Axial plane
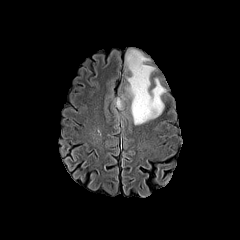
FLAIR magnetic resonance.
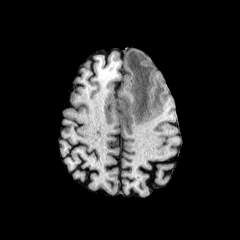
Same slice, T1-weighted magnetic resonance.
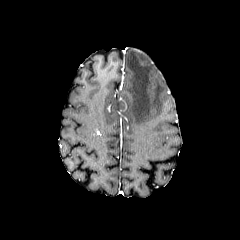
Post-contrast T1-weighted MRI.
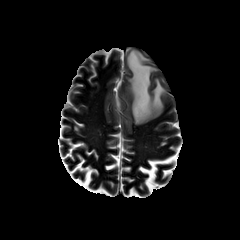
T2-weighted magnetic resonance of the same slice.
Segmented structures:
• peritumoral edema: bbox=[115, 98, 121, 108]; bbox=[126, 50, 165, 124]